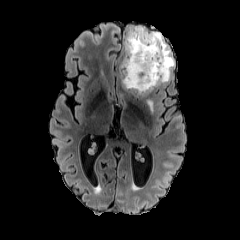
FLAIR MR.
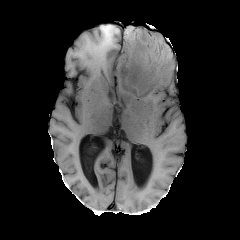
T1-weighted magnetic resonance.
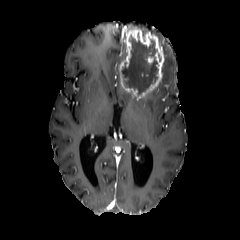
Post-contrast T1-weighted magnetic resonance.
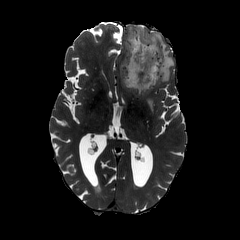
Same slice, T2-weighted MR.
Axial slice, Head, 240x240 px
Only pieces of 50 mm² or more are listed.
peritumoral edema at <bbox>151, 32, 174, 85</bbox>, <bbox>147, 99, 152, 113</bbox>, <bbox>125, 25, 147, 31</bbox>
enhancing tumor at <bbox>119, 27, 164, 97</bbox>
necrotic tumor core at <bbox>121, 36, 157, 95</bbox>